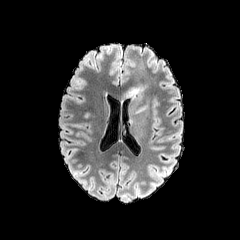
FLAIR magnetic resonance.
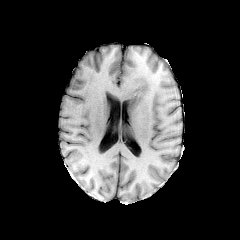
T1-weighted MRI of the same slice.
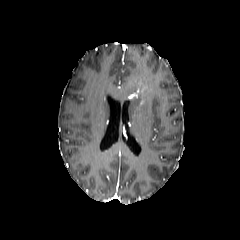
Post-contrast T1-weighted MR.
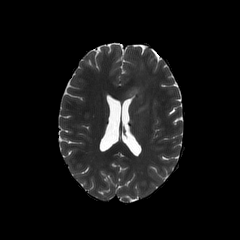
T2-weighted MR of the same slice.
Axial plane
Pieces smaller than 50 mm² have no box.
peritumoral edema: bounding box region(132, 63, 144, 77); region(124, 84, 147, 98)
enhancing tumor: bounding box region(128, 86, 145, 98)